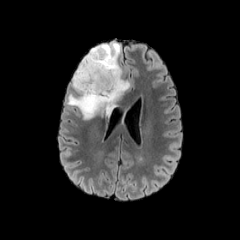
FLAIR MR.
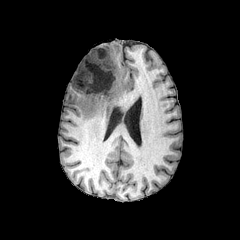
Same slice, T1-weighted MRI.
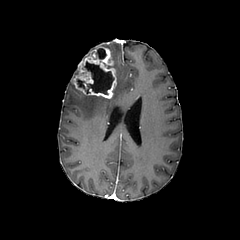
Same slice, post-contrast T1-weighted MR.
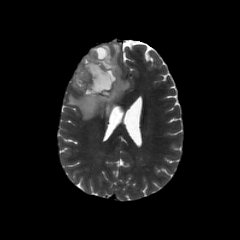
T2-weighted magnetic resonance.
Head
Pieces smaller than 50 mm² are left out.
The largest peritumoral edema region appears at [67,42,130,119]. The enhancing tumor lies within [72,45,116,99]. The 2 largest necrotic tumor core regions appear at [77,61,114,94], [96,48,106,59].